FLAIR magnetic resonance.
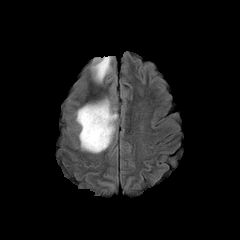
T1-weighted MRI.
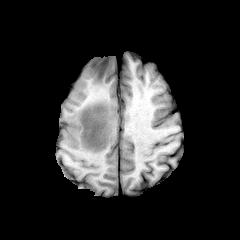
Post-contrast T1-weighted magnetic resonance.
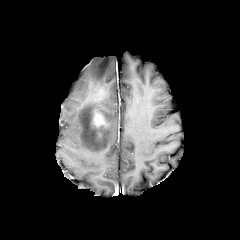
T2-weighted MRI.
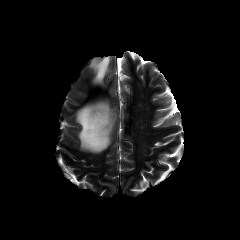
240x240 px; Head
2 enhancing tumor regions are located at 95, 130, 103, 139; 90, 105, 111, 129. 2 peritumoral edema regions appear at 92, 56, 111, 82; 76, 99, 117, 153.